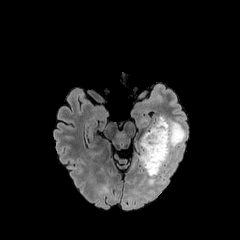
FLAIR MR.
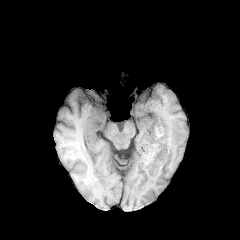
Same slice, T1-weighted MR image.
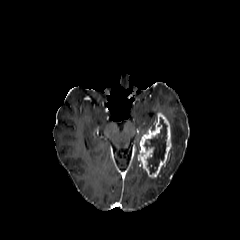
Post-contrast T1-weighted magnetic resonance.
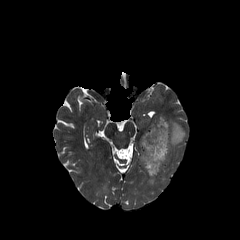
T2-weighted MRI of the same slice.
Head
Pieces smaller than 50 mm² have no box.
necrotic tumor core — 144, 117, 166, 174
enhancing tumor — 138, 113, 171, 177
peritumoral edema — 147, 175, 164, 185; 167, 118, 185, 163